FLAIR magnetic resonance.
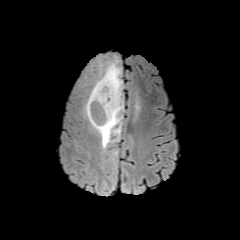
T1-weighted MRI.
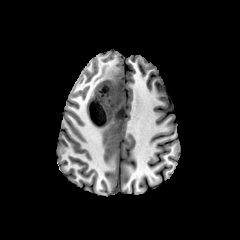
Post-contrast T1-weighted MR.
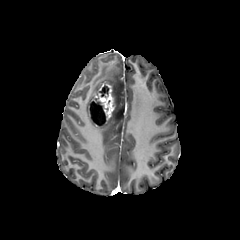
T2-weighted MRI.
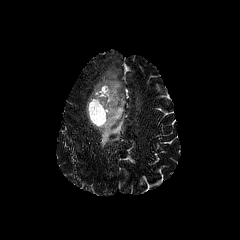
Brain | 240x240 px
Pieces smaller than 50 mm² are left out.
necrotic tumor core at 99, 85, 109, 96; 90, 98, 106, 125
enhancing tumor at 88, 83, 114, 126
peritumoral edema at 84, 60, 124, 148